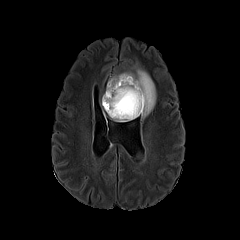
FLAIR magnetic resonance.
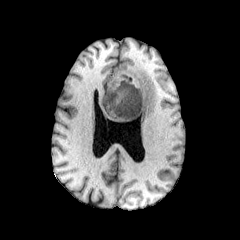
T1-weighted MR of the same slice.
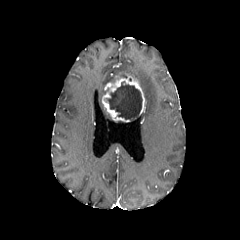
Post-contrast T1-weighted MR of the same slice.
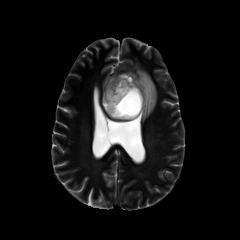
T2-weighted MR.
Head
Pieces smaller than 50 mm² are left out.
necrotic_tumor_core:
  - (106,81,142,119)
enhancing_tumor:
  - (102,74,146,122)
peritumoral_edema:
  - (108,66,156,119)